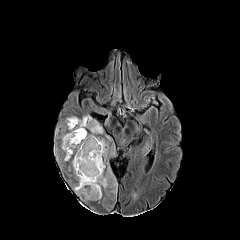
FLAIR MRI.
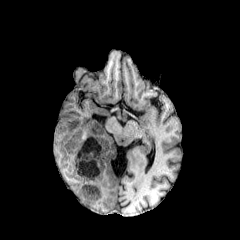
T1-weighted magnetic resonance.
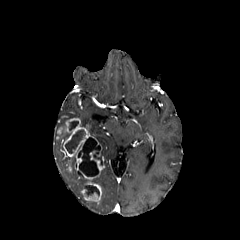
Post-contrast T1-weighted MR image of the same slice.
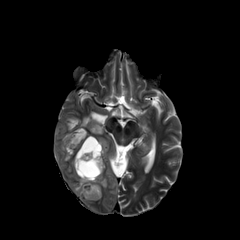
T2-weighted magnetic resonance of the same slice.
Head
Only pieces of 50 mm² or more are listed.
enhancing_tumor:
  - [61, 117, 101, 170]
  - [80, 151, 104, 202]
peritumoral_edema:
  - [96, 137, 108, 165]
  - [81, 116, 103, 134]
  - [91, 169, 107, 188]
  - [108, 167, 117, 193]
  - [73, 165, 88, 195]
necrotic_tumor_core:
  - [78, 137, 100, 176]
  - [65, 130, 85, 153]
  - [69, 121, 78, 130]
  - [85, 185, 99, 195]